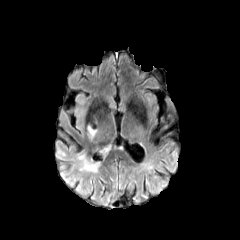
FLAIR MR.
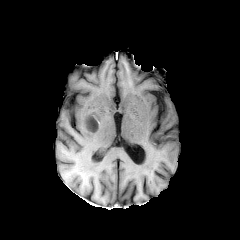
T1-weighted MRI of the same slice.
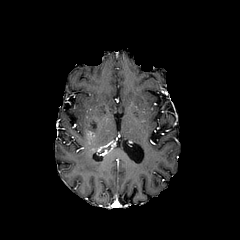
Post-contrast T1-weighted magnetic resonance.
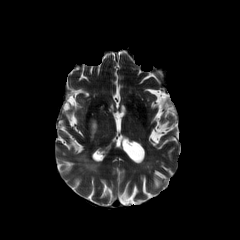
T2-weighted magnetic resonance.
Axial slice; Brain
The necrotic tumor core appears at [90,121,98,132]. The enhancing tumor is located at [85,118,100,151]. The peritumoral edema is at [77,154,98,172].